FLAIR MR.
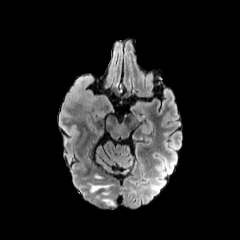
T1-weighted MR.
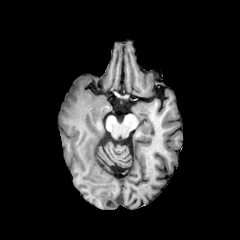
Post-contrast T1-weighted MR.
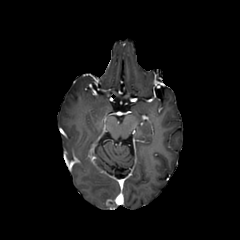
T2-weighted magnetic resonance.
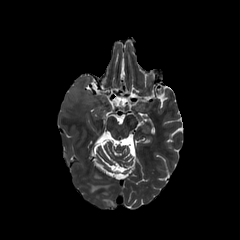
240x240 px | Brain
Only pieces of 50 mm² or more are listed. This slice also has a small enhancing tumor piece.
peritumoral_edema:
  - x1=91 y1=185 x2=112 y2=194
  - x1=70 y1=76 x2=90 y2=103